Axial slice
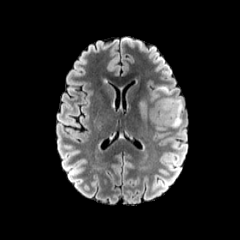
FLAIR MRI.
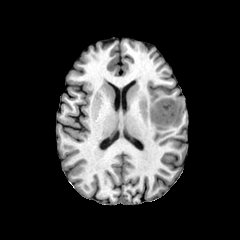
T1-weighted MR image.
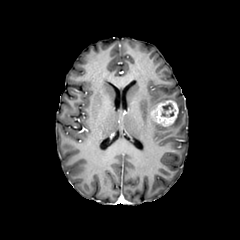
Post-contrast T1-weighted MRI.
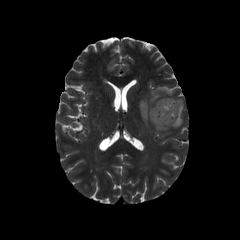
T2-weighted magnetic resonance of the same slice.
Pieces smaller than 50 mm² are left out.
The enhancing tumor lies within (150, 100, 178, 126). The largest necrotic tumor core region appears at (162, 103, 172, 116). The 3 largest peritumoral edema regions appear at (140, 102, 146, 117), (156, 86, 174, 94), (157, 98, 183, 127).